Brain. Axial plane.
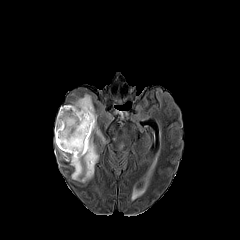
FLAIR MR image.
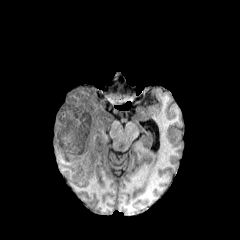
Same slice, T1-weighted MR.
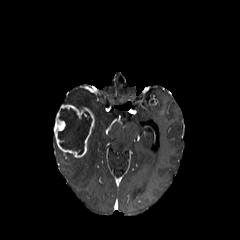
Post-contrast T1-weighted MRI.
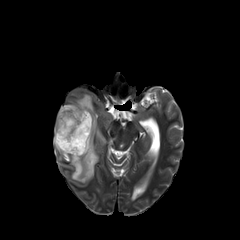
T2-weighted MR image.
<segmentation>
  <necrotic_tumor_core>(58, 108, 91, 154)</necrotic_tumor_core>
  <peritumoral_edema>(131, 185, 146, 202), (54, 94, 105, 182)</peritumoral_edema>
  <enhancing_tumor>(54, 104, 94, 157)</enhancing_tumor>
</segmentation>